Head; Axial slice; Slice 28/155
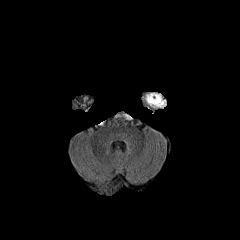
FLAIR MR.
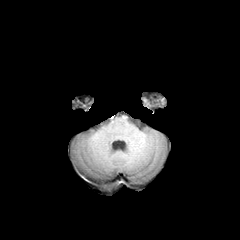
T1-weighted MR of the same slice.
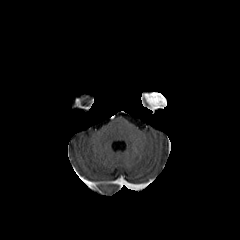
Post-contrast T1-weighted magnetic resonance.
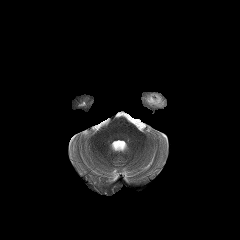
Same slice, T2-weighted MRI.
The enhancing tumor is bounded by <bbox>146, 92, 166, 107</bbox>.